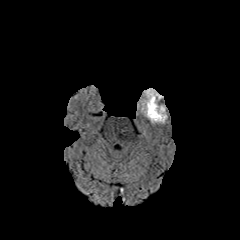
FLAIR MRI.
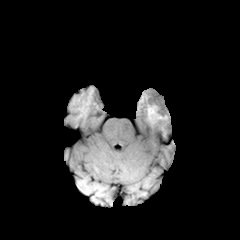
Same slice, T1-weighted MR image.
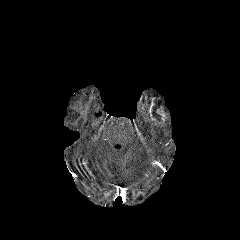
Post-contrast T1-weighted MRI of the same slice.
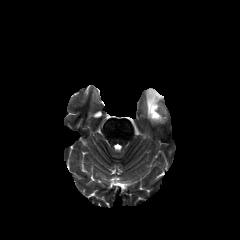
T2-weighted MR image of the same slice.
Head.
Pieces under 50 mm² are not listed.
peritumoral_edema:
  - [x1=137, y1=88, x2=167, y2=125]
enhancing_tumor:
  - [x1=148, y1=97, x2=166, y2=123]
necrotic_tumor_core:
  - [x1=152, y1=98, x2=163, y2=121]